Head | Axial view | 240x240
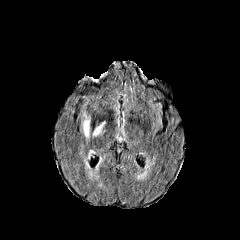
FLAIR MR.
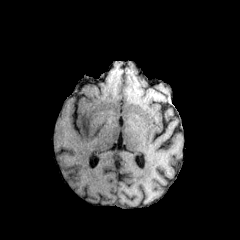
Same slice, T1-weighted MR image.
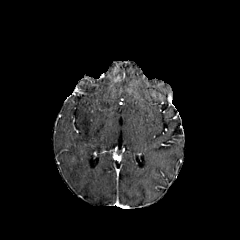
Same slice, post-contrast T1-weighted MR image.
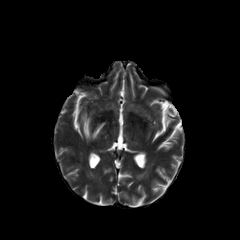
Same slice, T2-weighted magnetic resonance.
2 peritumoral edema regions are located at [82, 112, 90, 138], [93, 122, 105, 136].